Image size 240x240. Slice 91/155. Image width 240 mm.
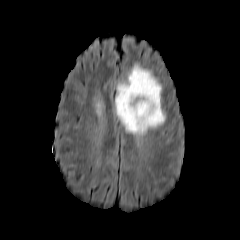
FLAIR MR.
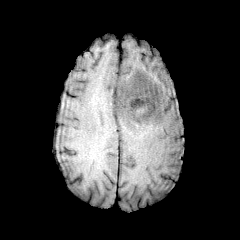
Same slice, T1-weighted MR image.
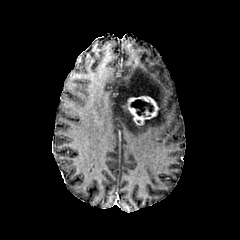
Post-contrast T1-weighted MR image.
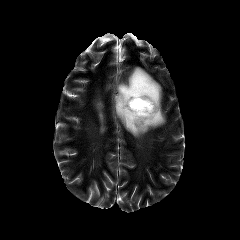
T2-weighted magnetic resonance.
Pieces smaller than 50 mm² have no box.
enhancing tumor: [124, 96, 158, 125] | peritumoral edema: [114, 65, 165, 136] | necrotic tumor core: [130, 99, 153, 116]